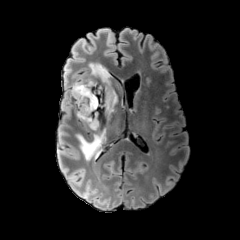
FLAIR MR image.
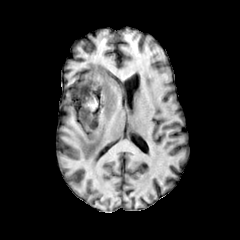
T1-weighted MRI of the same slice.
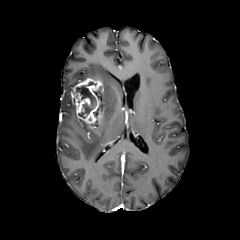
Post-contrast T1-weighted MRI of the same slice.
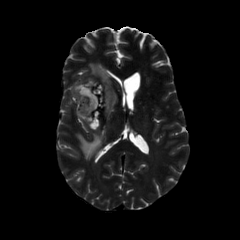
Same slice, T2-weighted MR image.
Head; Axial plane
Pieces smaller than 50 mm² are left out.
enhancing tumor: bounding box (x1=70, y1=76, x2=104, y2=129)
necrotic tumor core: bounding box (x1=76, y1=86, x2=96, y2=118)
peritumoral edema: bounding box (x1=76, y1=128, x2=106, y2=160), (x1=80, y1=63, x2=118, y2=121)